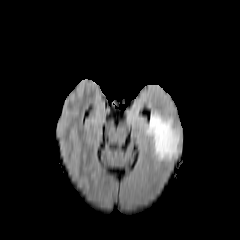
FLAIR MR image.
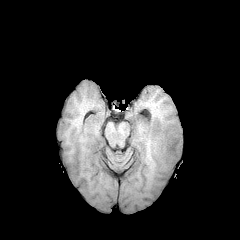
T1-weighted MRI.
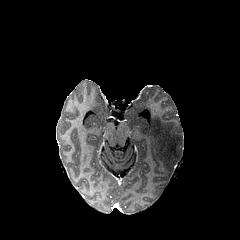
Post-contrast T1-weighted MR.
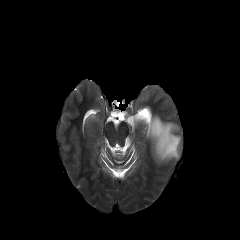
T2-weighted magnetic resonance.
Brain | Axial slice
{
  "peritumoral_edema": [
    "left=145, top=113, right=180, bottom=161"
  ]
}